FLAIR MRI.
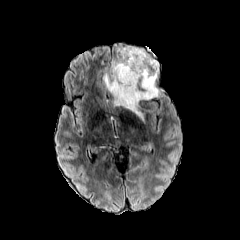
T1-weighted MRI.
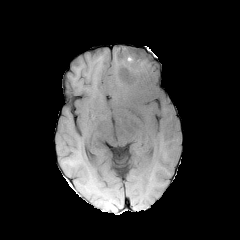
Post-contrast T1-weighted MRI.
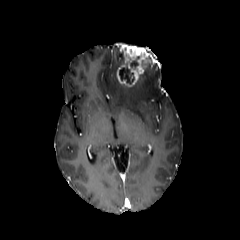
T2-weighted MRI.
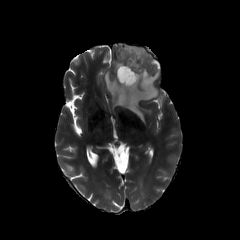
Head. Axial slice.
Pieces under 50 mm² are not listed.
The largest necrotic tumor core region is located at region(119, 67, 134, 83). The enhancing tumor is at region(116, 44, 157, 86). The largest peritumoral edema region lies within region(104, 47, 159, 120).